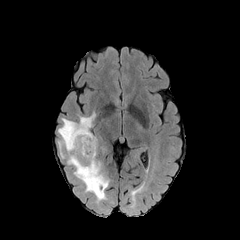
FLAIR MR.
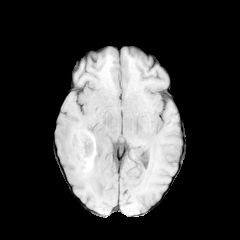
T1-weighted magnetic resonance.
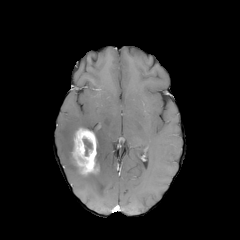
Post-contrast T1-weighted MR.
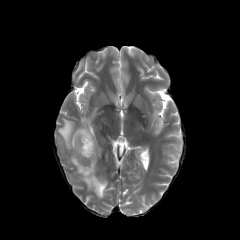
T2-weighted MR image.
Axial view; 240x240
necrotic tumor core: [83, 139, 91, 155] | enhancing tumor: [72, 128, 98, 174] | peritumoral edema: [57, 111, 108, 202]